FLAIR MR image.
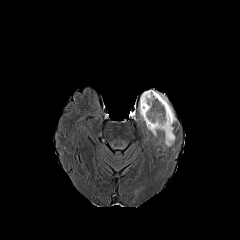
T1-weighted MR.
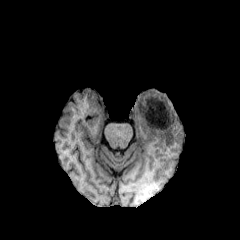
Post-contrast T1-weighted MR image.
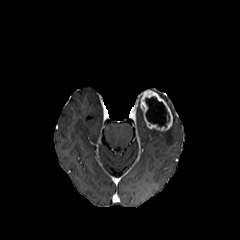
T2-weighted magnetic resonance.
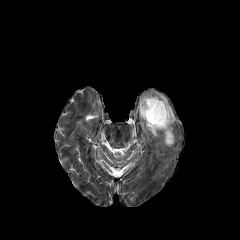
Axial slice, Head, 240x240 px
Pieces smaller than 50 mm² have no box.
The necrotic tumor core appears at l=145, t=96, r=169, b=127. The enhancing tumor appears at l=140, t=90, r=172, b=131. The 3 largest peritumoral edema regions are bounded by l=158, t=93, r=176, b=123; l=146, t=126, r=157, b=137; l=163, t=126, r=175, b=147.